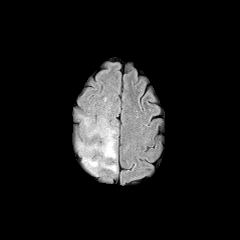
FLAIR magnetic resonance.
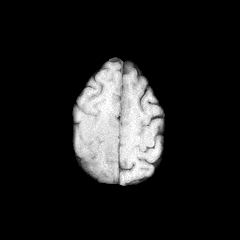
Same slice, T1-weighted magnetic resonance.
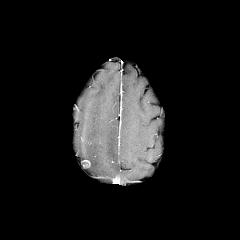
Post-contrast T1-weighted MR image.
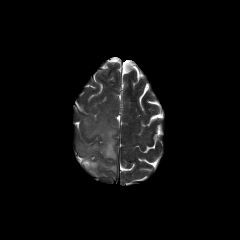
T2-weighted MRI of the same slice.
240x240; Axial plane; Brain
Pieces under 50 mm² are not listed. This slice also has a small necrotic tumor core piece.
peritumoral edema: box=[78, 115, 117, 175] | enhancing tumor: box=[82, 160, 90, 167]